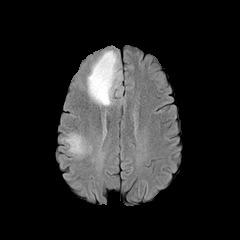
FLAIR MR image.
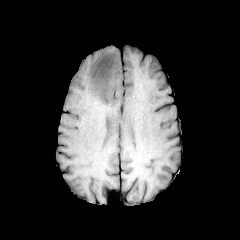
Same slice, T1-weighted MR.
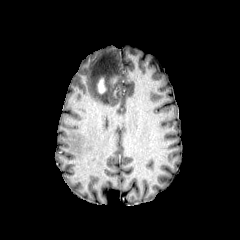
Post-contrast T1-weighted MRI.
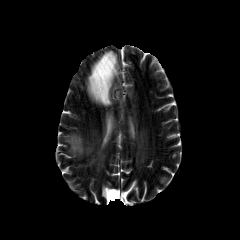
T2-weighted MRI of the same slice.
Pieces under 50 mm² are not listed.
• peritumoral edema: left=86, top=50, right=121, bottom=106
• enhancing tumor: left=97, top=77, right=106, bottom=93